Slice 90/155.
FLAIR MRI.
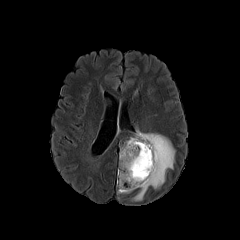
T1-weighted magnetic resonance.
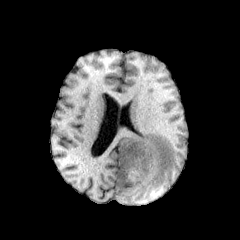
Post-contrast T1-weighted MR image.
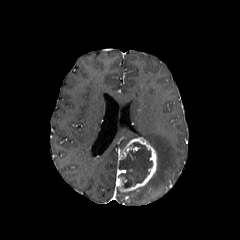
T2-weighted MR.
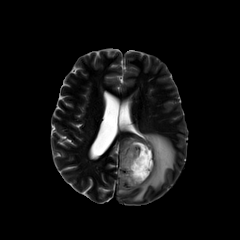
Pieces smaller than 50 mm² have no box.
necrotic tumor core: bounding box 118, 142, 152, 188
peritumoral edema: bounding box 121, 131, 175, 200
enhancing tumor: bounding box 116, 137, 157, 192